FLAIR MR.
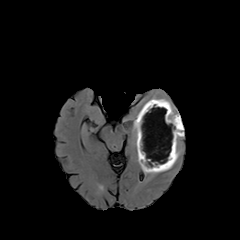
T1-weighted MR.
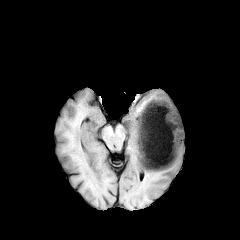
Post-contrast T1-weighted MR image.
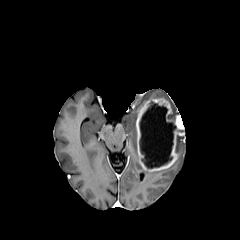
T2-weighted MRI.
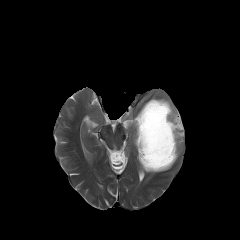
Image size 240x240. Brain. Axial plane.
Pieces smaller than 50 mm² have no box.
Annotated regions:
• necrotic tumor core: (left=139, top=101, right=176, bottom=168)
• peritumoral edema: (left=142, top=164, right=173, bottom=174), (left=176, top=138, right=182, bottom=155), (left=132, top=116, right=136, bottom=149), (left=150, top=96, right=178, bottom=114)
• enhancing tumor: (left=136, top=99, right=184, bottom=171)